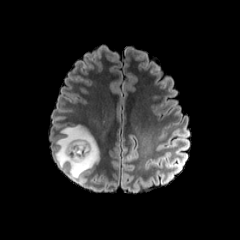
FLAIR MRI.
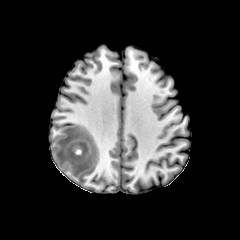
T1-weighted MR.
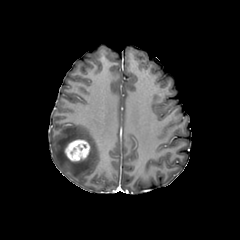
Post-contrast T1-weighted magnetic resonance.
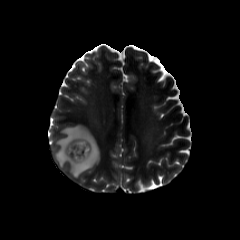
Same slice, T2-weighted MR image.
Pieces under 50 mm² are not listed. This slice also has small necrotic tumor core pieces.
enhancing tumor: bbox=[64, 139, 90, 162]
peritumoral edema: bbox=[54, 125, 99, 180]